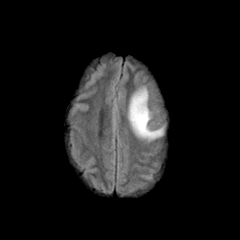
FLAIR MRI.
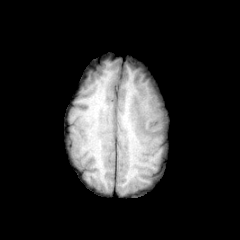
Same slice, T1-weighted MR image.
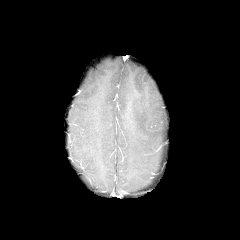
Post-contrast T1-weighted magnetic resonance of the same slice.
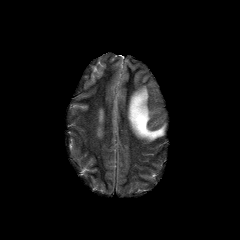
T2-weighted MR of the same slice.
Head
The peritumoral edema lies within [128,87,163,140].